Head | Image width 240 mm
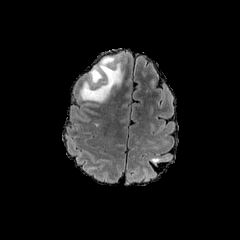
FLAIR MR.
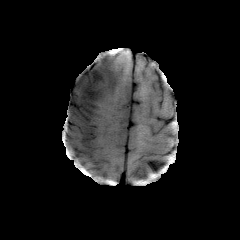
T1-weighted MRI.
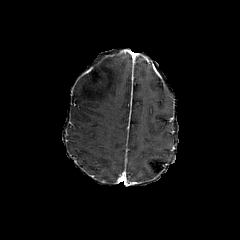
Same slice, post-contrast T1-weighted MRI.
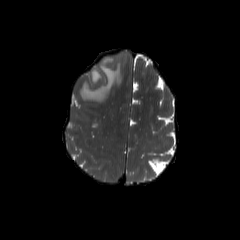
T2-weighted MRI.
<segmentation>
  <peritumoral_edema><box>79,56,123,102</box></peritumoral_edema>
</segmentation>